FLAIR MR.
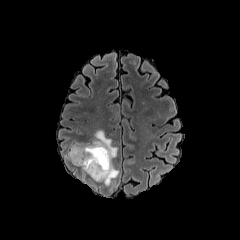
T1-weighted magnetic resonance.
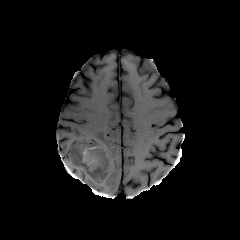
Post-contrast T1-weighted MRI.
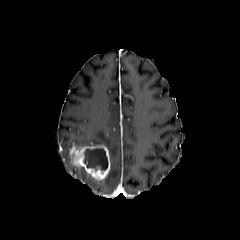
T2-weighted MRI.
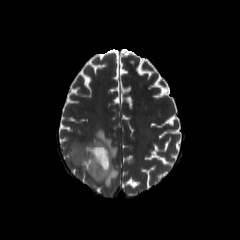
240x240
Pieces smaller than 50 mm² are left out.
<segmentation>
  <peritumoral_edema>box(81, 167, 90, 183); box(70, 130, 119, 185)</peritumoral_edema>
  <enhancing_tumor>box(69, 145, 110, 181)</enhancing_tumor>
  <necrotic_tumor_core>box(84, 148, 107, 169)</necrotic_tumor_core>
</segmentation>